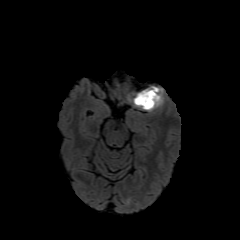
FLAIR MRI.
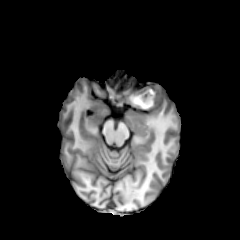
T1-weighted MRI.
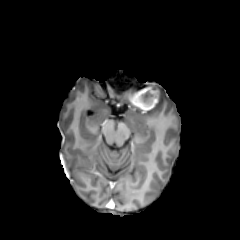
Post-contrast T1-weighted MR image of the same slice.
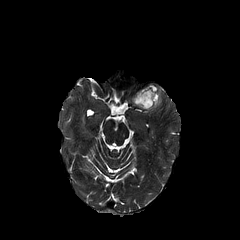
Same slice, T2-weighted MRI.
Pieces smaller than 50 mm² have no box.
The enhancing tumor lies within (left=129, top=86, right=159, bottom=113). The largest peritumoral edema region appears at (left=156, top=87, right=163, bottom=107). The necrotic tumor core appears at (left=136, top=88, right=157, bottom=105).